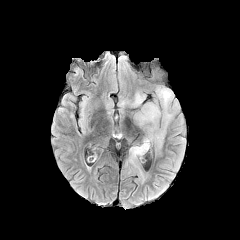
FLAIR magnetic resonance.
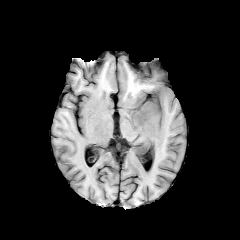
T1-weighted magnetic resonance.
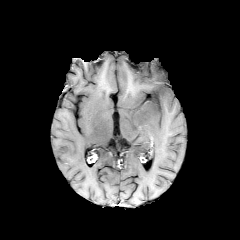
Post-contrast T1-weighted MR.
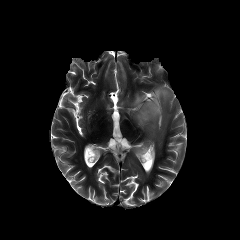
Same slice, T2-weighted MR.
Head | Image size 240x240
The peritumoral edema is at {"x1": 129, "y1": 83, "x2": 180, "y2": 150}.